FLAIR magnetic resonance.
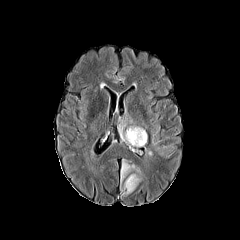
T1-weighted MRI.
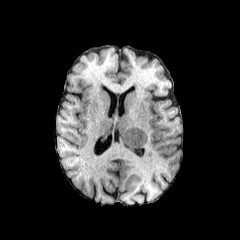
Post-contrast T1-weighted magnetic resonance.
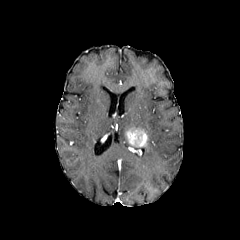
T2-weighted magnetic resonance.
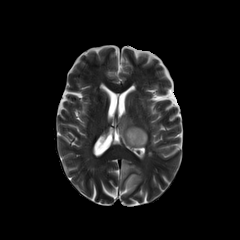
Axial view, Head
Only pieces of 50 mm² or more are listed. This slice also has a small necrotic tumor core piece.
The enhancing tumor appears at (125,127,147,147). The 3 largest peritumoral edema regions are located at (120,158,141,182), (118,121,127,143), (123,174,141,196).